FLAIR magnetic resonance.
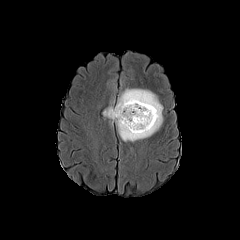
T1-weighted MRI.
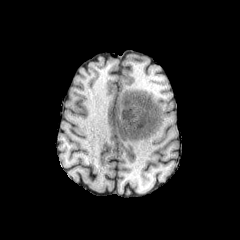
Post-contrast T1-weighted magnetic resonance.
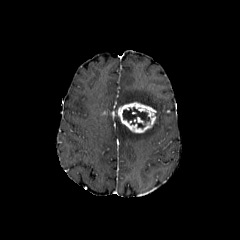
T2-weighted magnetic resonance.
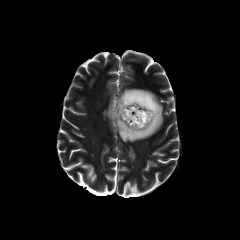
Axial view; Brain
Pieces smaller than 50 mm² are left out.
The necrotic tumor core is bounded by <bbox>123, 107, 149, 127</bbox>. The largest enhancing tumor region lies within <bbox>110, 102, 156, 133</bbox>. The peritumoral edema is located at <bbox>104, 89, 163, 141</bbox>.